Head; Slice 87 of 155; 240x240
FLAIR magnetic resonance.
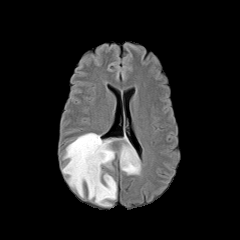
T1-weighted MR.
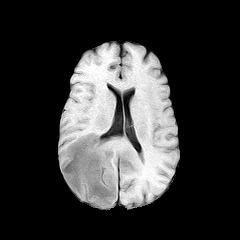
Post-contrast T1-weighted MR image.
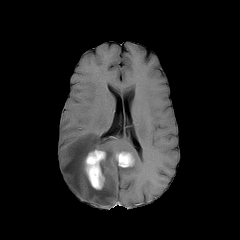
T2-weighted MR image.
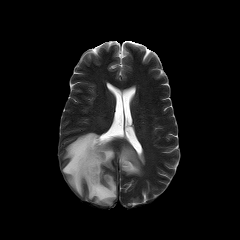
enhancing tumor: bounding box (x1=84, y1=149, x2=105, y2=189), (x1=116, y1=151, x2=134, y2=167)
peritumoral edema: bounding box (x1=62, y1=132, x2=141, y2=205)